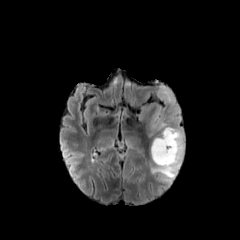
FLAIR MRI.
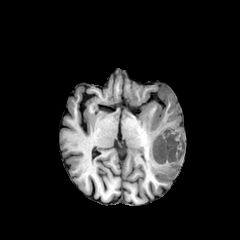
T1-weighted MRI.
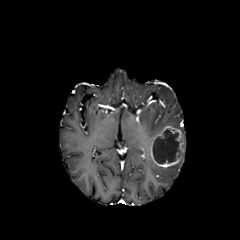
Same slice, post-contrast T1-weighted MR image.
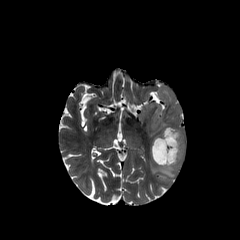
T2-weighted magnetic resonance of the same slice.
Axial view. 240x240.
<segmentation>
  <necrotic_tumor_core>x1=153 y1=129 x2=180 y2=163</necrotic_tumor_core>
  <peritumoral_edema>x1=138 y1=84 x2=185 y2=140, x1=151 y1=158 x2=182 y2=182</peritumoral_edema>
  <enhancing_tumor>x1=150 y1=126 x2=184 y2=167</enhancing_tumor>
</segmentation>